Brain.
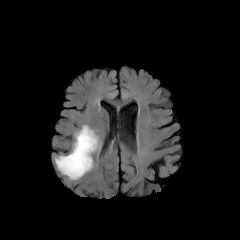
FLAIR MR image.
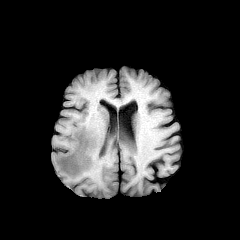
T1-weighted magnetic resonance of the same slice.
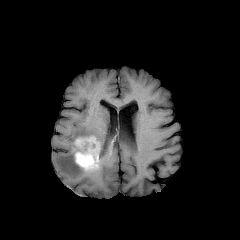
Post-contrast T1-weighted magnetic resonance.
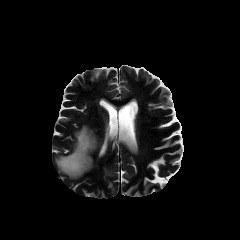
T2-weighted MR image.
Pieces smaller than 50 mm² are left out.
{"peritumoral_edema": ["x1=55 y1=142 x2=90 y2=179", "x1=74 y1=125 x2=100 y2=151"], "enhancing_tumor": ["x1=74 y1=137 x2=98 y2=170"]}